FLAIR magnetic resonance.
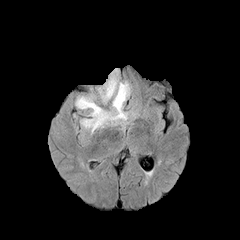
T1-weighted magnetic resonance.
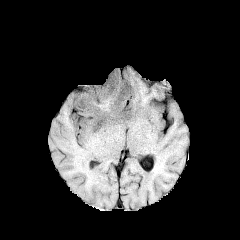
Post-contrast T1-weighted MRI.
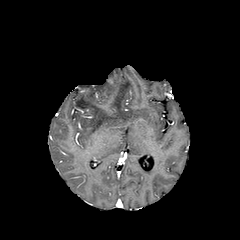
T2-weighted MRI.
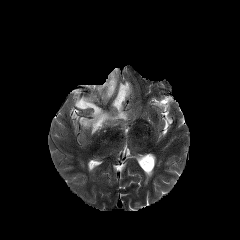
Axial plane | Head
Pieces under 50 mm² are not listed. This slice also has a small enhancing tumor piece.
Annotated regions:
- peritumoral edema: left=75, top=68, right=130, bottom=133